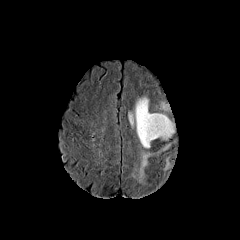
FLAIR MR image.
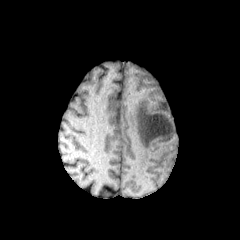
T1-weighted MR.
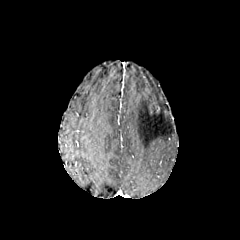
Same slice, post-contrast T1-weighted MR image.
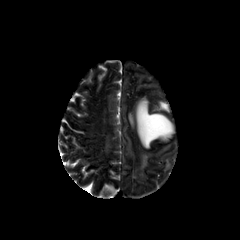
T2-weighted magnetic resonance of the same slice.
Head; Axial view
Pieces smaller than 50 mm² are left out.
The largest peritumoral edema region lies within <bbox>128, 97, 174, 183</bbox>.